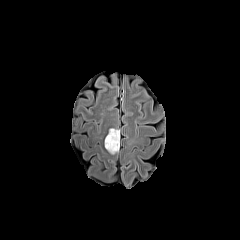
FLAIR magnetic resonance.
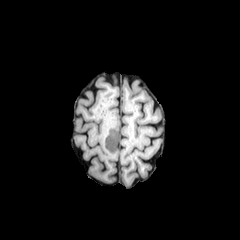
T1-weighted MR image of the same slice.
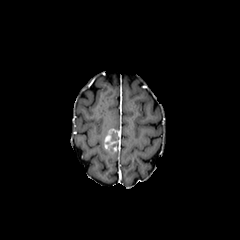
Post-contrast T1-weighted MR image.
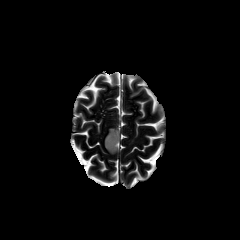
T2-weighted MR image.
Axial view, 240x240 px
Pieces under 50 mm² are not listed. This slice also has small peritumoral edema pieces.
The largest necrotic tumor core region is bounded by 110:132:117:141. The largest enhancing tumor region is at 105:129:119:149.